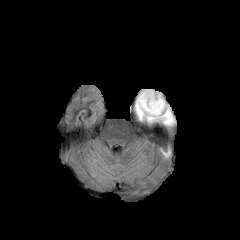
FLAIR magnetic resonance.
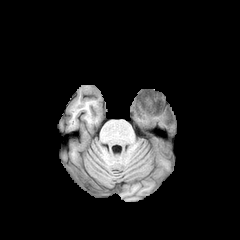
T1-weighted MRI.
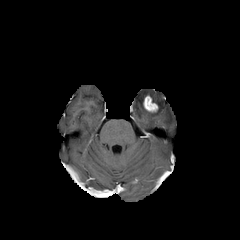
Post-contrast T1-weighted MRI.
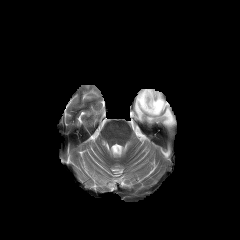
Same slice, T2-weighted MR image.
Brain.
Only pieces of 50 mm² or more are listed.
{"peritumoral_edema": ["<box>134,89,175,126</box>"], "enhancing_tumor": ["<box>144,96,157,112</box>"]}